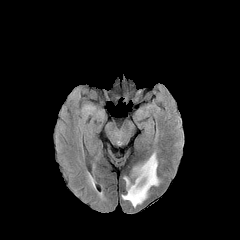
FLAIR MRI.
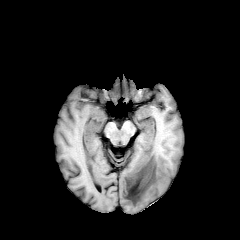
Same slice, T1-weighted MR image.
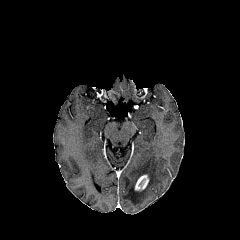
Post-contrast T1-weighted MR image.
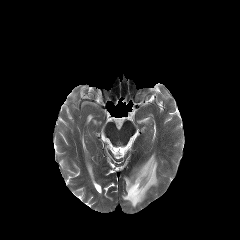
T2-weighted MR image of the same slice.
Head. 240x240 px.
The peritumoral edema is at box=[122, 153, 159, 207]. The enhancing tumor appears at box=[134, 174, 149, 191].